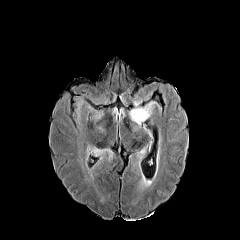
FLAIR MR.
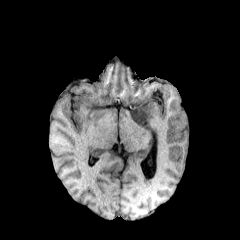
T1-weighted MRI of the same slice.
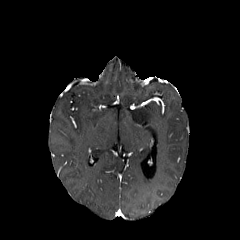
Post-contrast T1-weighted magnetic resonance.
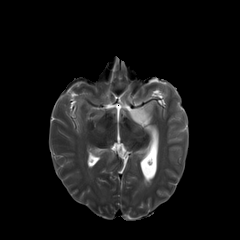
Same slice, T2-weighted MR.
240x240, Axial plane
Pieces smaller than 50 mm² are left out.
The 2 largest peritumoral edema regions appear at bbox(89, 146, 111, 160); bbox(129, 102, 155, 124).